Slice index 65 | Axial plane | Image covers 240 mm x 240 mm
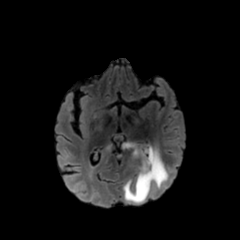
FLAIR MR.
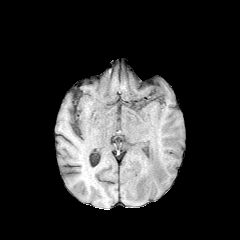
T1-weighted magnetic resonance.
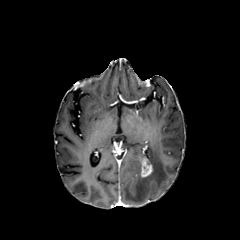
Same slice, post-contrast T1-weighted MR.
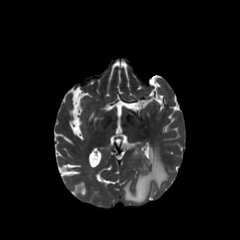
T2-weighted magnetic resonance.
enhancing tumor: x1=141 y1=158 x2=152 y2=177
peritumoral edema: x1=123 y1=142 x2=168 y2=203